FLAIR magnetic resonance.
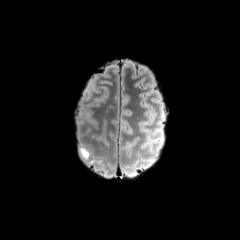
T1-weighted MR image.
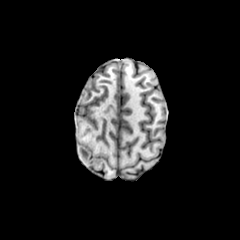
Post-contrast T1-weighted MR.
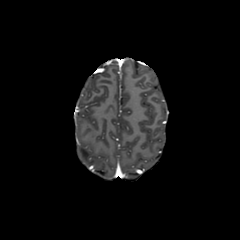
T2-weighted MRI.
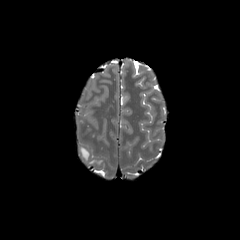
240x240.
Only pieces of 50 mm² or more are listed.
The largest peritumoral edema region is bounded by box=[79, 147, 96, 163].